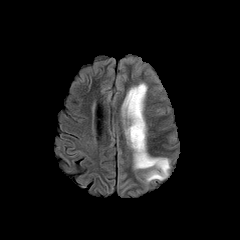
FLAIR MR.
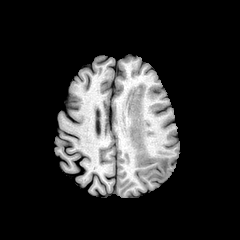
T1-weighted MRI.
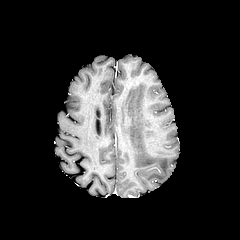
Same slice, post-contrast T1-weighted MRI.
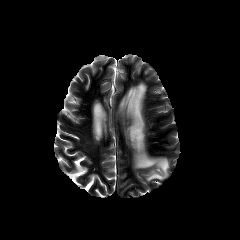
T2-weighted MR.
Brain
The peritumoral edema is located at [122, 83, 169, 181].